Image width 240 mm | Axial view
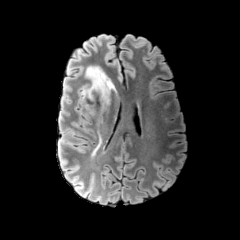
FLAIR MRI.
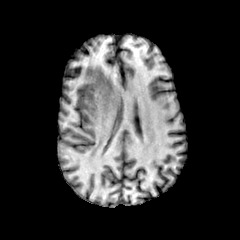
T1-weighted MRI.
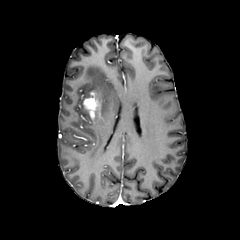
Post-contrast T1-weighted MRI of the same slice.
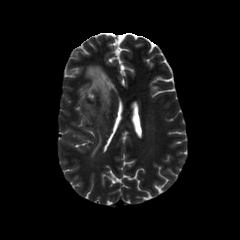
T2-weighted MRI.
* enhancing tumor: {"x1": 83, "y1": 90, "x2": 103, "y2": 121}
* peritumoral edema: {"x1": 79, "y1": 66, "x2": 115, "y2": 155}